240x240 px, Brain
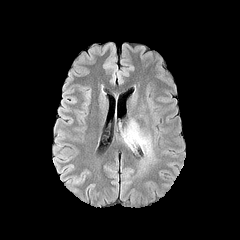
FLAIR MR image.
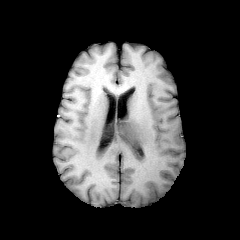
T1-weighted MR image.
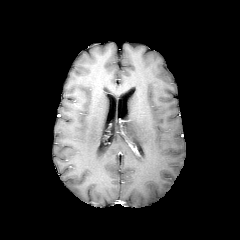
Same slice, post-contrast T1-weighted MR image.
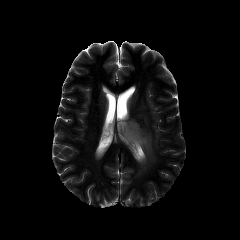
T2-weighted magnetic resonance.
<segmentation>
  <peritumoral_edema>left=127, top=119, right=153, bottom=164</peritumoral_edema>
</segmentation>